Head | Image width 240 mm | Slice 99 of 155
FLAIR MR image.
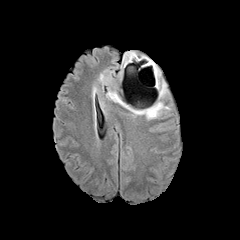
T1-weighted MRI.
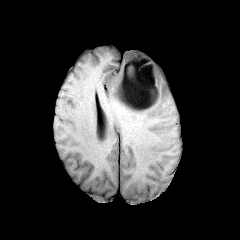
Post-contrast T1-weighted MR.
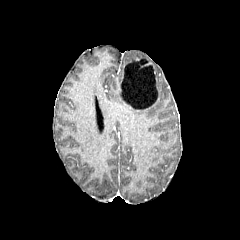
T2-weighted MR.
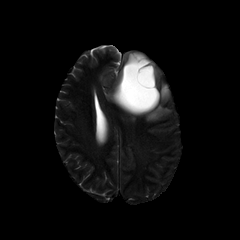
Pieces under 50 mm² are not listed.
Findings:
- enhancing tumor: (120, 98, 134, 109)
- peritumoral edema: (159, 83, 167, 97), (107, 91, 168, 120)
- necrotic tumor core: (119, 59, 158, 110)